Image covers 240 mm x 240 mm, Slice 121/155
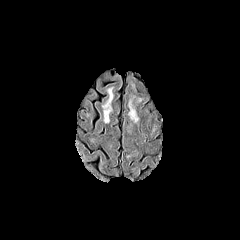
FLAIR MRI.
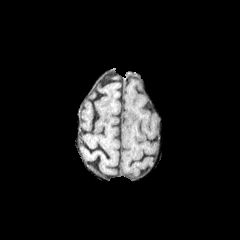
Same slice, T1-weighted magnetic resonance.
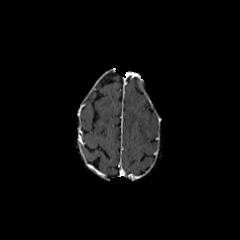
Post-contrast T1-weighted MRI.
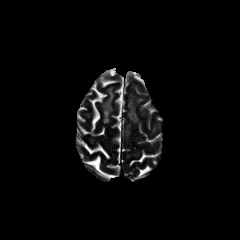
T2-weighted MR image.
The peritumoral edema appears at 129:110:137:121.